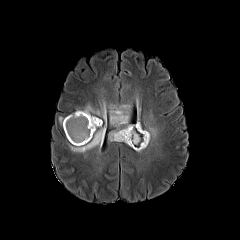
FLAIR magnetic resonance.
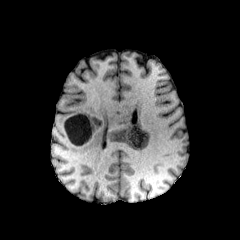
T1-weighted MR.
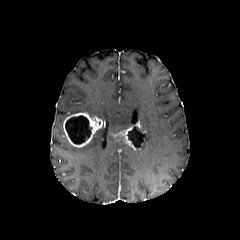
Post-contrast T1-weighted MR image.
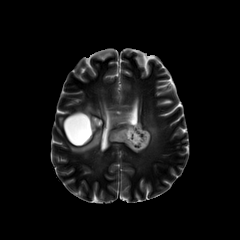
T2-weighted MR image of the same slice.
Axial slice | 240x240 | Head
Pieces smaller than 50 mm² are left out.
* enhancing tumor: bbox(63, 112, 102, 147); bbox(111, 121, 147, 149)
* necrotic tumor core: bbox(65, 115, 92, 144); bbox(127, 126, 144, 147)
* peritumoral edema: bbox(108, 105, 131, 141); bbox(75, 104, 106, 125); bbox(69, 127, 105, 153); bbox(136, 123, 158, 151)